Image width 240 mm; Brain; Slice 116 of 155
FLAIR MR.
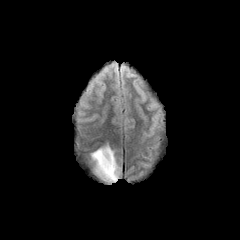
T1-weighted MRI.
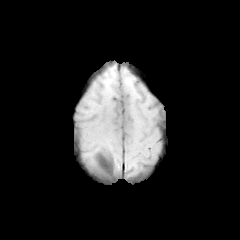
Post-contrast T1-weighted MR.
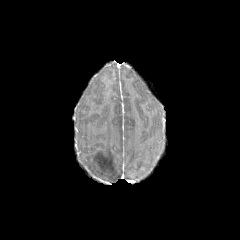
T2-weighted MR.
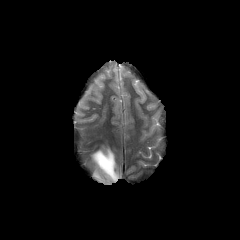
peritumoral_edema:
  - [91,145,120,182]